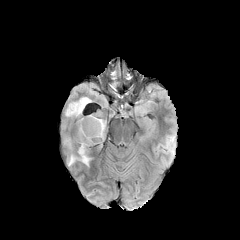
FLAIR MR image.
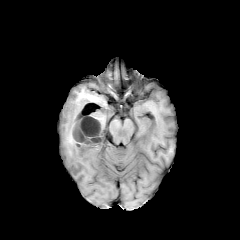
T1-weighted MR of the same slice.
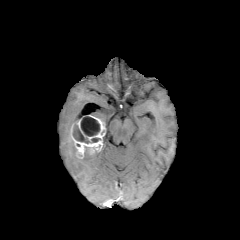
Post-contrast T1-weighted MR image of the same slice.
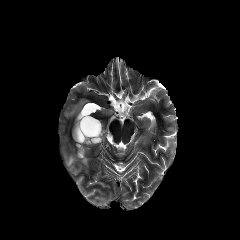
T2-weighted MRI.
Brain; 240x240 px; Axial plane
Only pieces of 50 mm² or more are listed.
necrotic tumor core: bounding box (73,125,90,143), (81,116,100,136)
enhancing tumor: bounding box (70,115,105,158)
peritumoral edema: bounding box (65,98,89,116), (66,148,93,167)